Slice index 61. Head. 240x240 px.
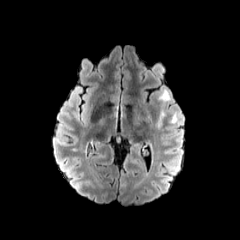
FLAIR MRI.
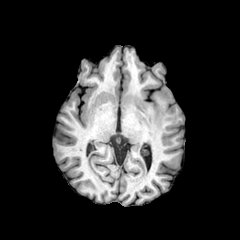
T1-weighted MR of the same slice.
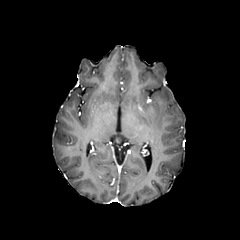
Post-contrast T1-weighted MRI.
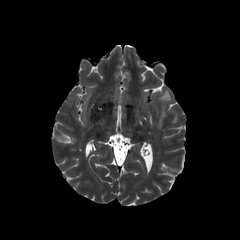
T2-weighted MR image.
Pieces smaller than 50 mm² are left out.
peritumoral edema = (146,108,168,129), (160,89,170,101)